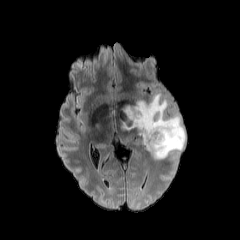
FLAIR magnetic resonance.
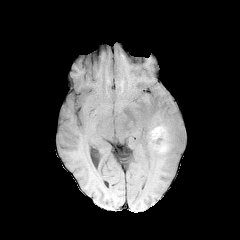
T1-weighted MRI.
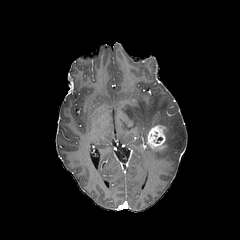
Same slice, post-contrast T1-weighted magnetic resonance.
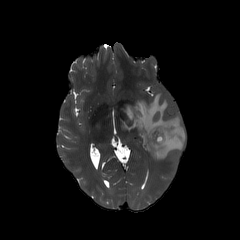
T2-weighted MRI.
Axial slice; Image size 240x240
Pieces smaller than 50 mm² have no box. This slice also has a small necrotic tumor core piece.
peritumoral edema = [123, 93, 185, 159]
enhancing tumor = [147, 125, 166, 149]